Axial slice. Head. Image size 240x240.
FLAIR MR image.
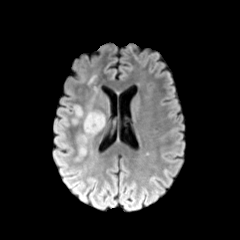
T1-weighted MR.
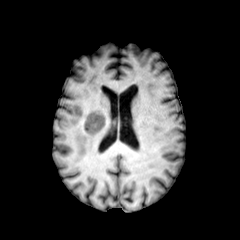
Post-contrast T1-weighted magnetic resonance.
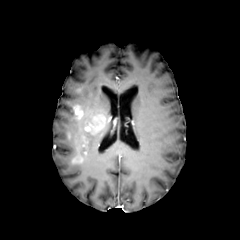
T2-weighted MRI.
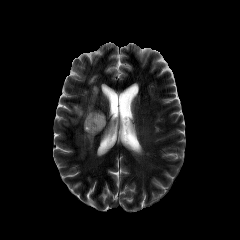
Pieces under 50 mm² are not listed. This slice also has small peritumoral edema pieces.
<segmentation>
  <enhancing_tumor><box>73,105,83,118</box>, <box>84,113,105,134</box></enhancing_tumor>
</segmentation>